Brain
FLAIR MRI.
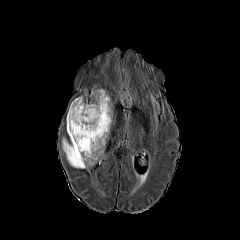
T1-weighted MR.
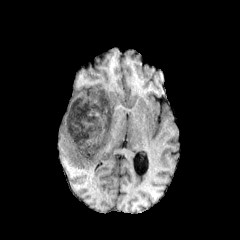
Post-contrast T1-weighted MRI.
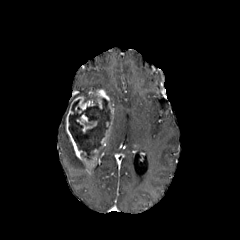
T2-weighted MRI.
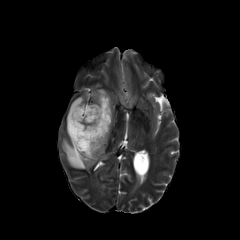
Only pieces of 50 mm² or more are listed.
enhancing tumor at 76 113 97 133, 66 89 113 171
peritumoral edema at 62 138 86 168
necrotic tumor core at 68 95 110 159